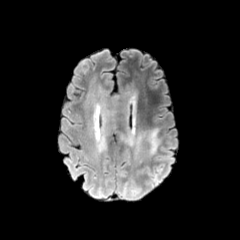
FLAIR MR.
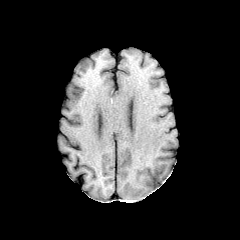
T1-weighted MRI of the same slice.
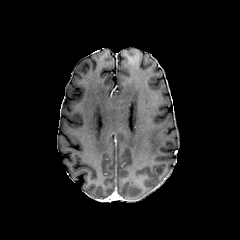
Post-contrast T1-weighted MR image.
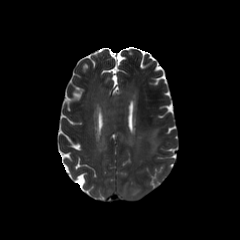
T2-weighted MR image.
240x240. Axial slice.
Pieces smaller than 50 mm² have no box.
peritumoral edema: [x1=134, y1=129, x2=159, y2=162], [x1=94, y1=90, x2=132, y2=151]